FLAIR MR image.
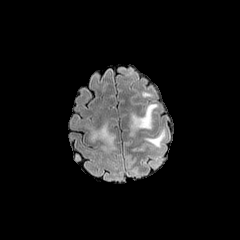
T1-weighted MR.
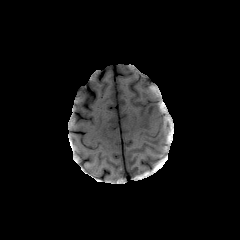
Post-contrast T1-weighted MR image.
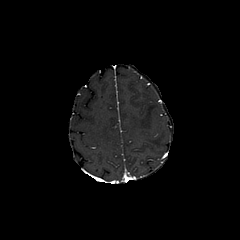
T2-weighted MRI.
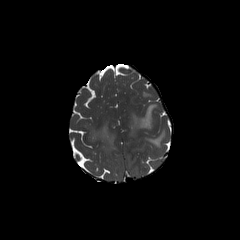
Head
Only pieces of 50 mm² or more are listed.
* peritumoral edema: x1=145, y1=129, x2=165, y2=147; x1=91, y1=123, x2=114, y2=145; x1=131, y1=104, x2=158, y2=135